Brain. 240x240 px. Slice 85 of 155. Axial view.
FLAIR MR image.
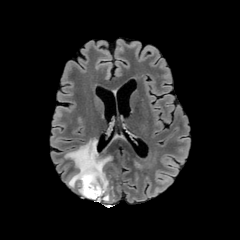
T1-weighted MR image.
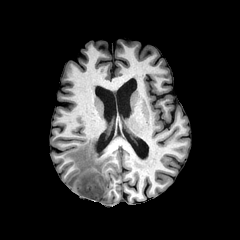
Post-contrast T1-weighted magnetic resonance.
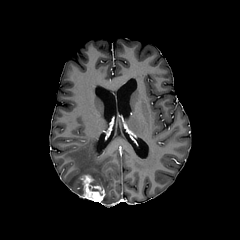
T2-weighted magnetic resonance.
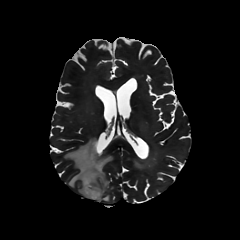
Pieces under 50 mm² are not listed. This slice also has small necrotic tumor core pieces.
peritumoral edema: (x1=65, y1=138, x2=112, y2=202)
enhancing tumor: (x1=81, y1=174, x2=105, y2=202)